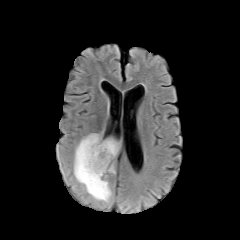
FLAIR MRI.
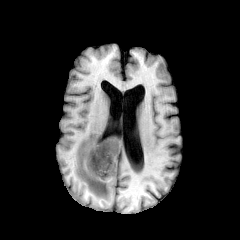
T1-weighted MR.
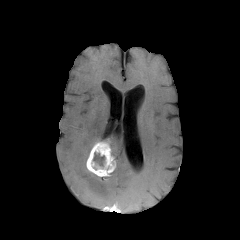
Post-contrast T1-weighted MRI.
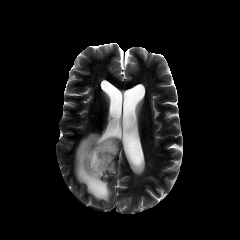
T2-weighted MR.
240x240 px | Brain
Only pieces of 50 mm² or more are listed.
Annotated regions:
* peritumoral edema: bbox=[73, 133, 113, 207]; bbox=[107, 137, 120, 157]
* necrotic tumor core: bbox=[90, 152, 106, 170]
* enhancing tumor: bbox=[86, 139, 115, 176]